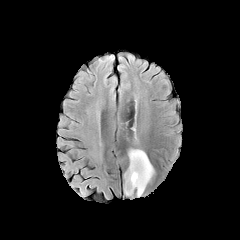
FLAIR MRI.
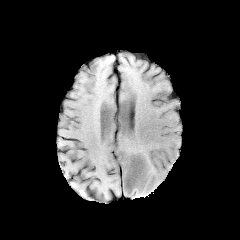
Same slice, T1-weighted MRI.
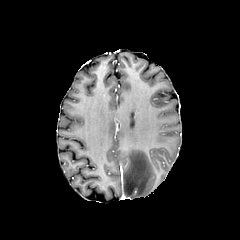
Post-contrast T1-weighted magnetic resonance of the same slice.
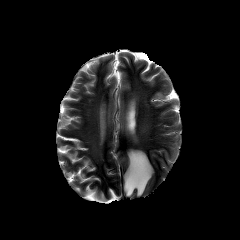
T2-weighted MRI of the same slice.
240x240 px; Head
peritumoral edema = rect(124, 149, 154, 196)